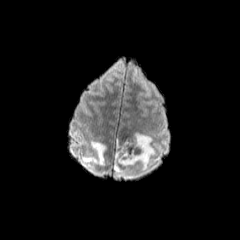
FLAIR MRI.
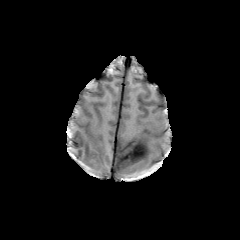
T1-weighted MR image.
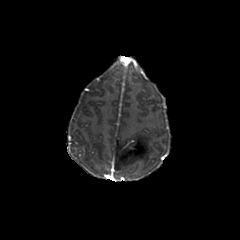
Post-contrast T1-weighted magnetic resonance.
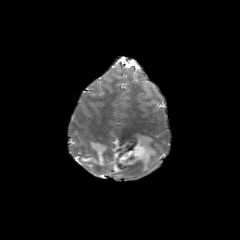
T2-weighted MR image.
Axial plane; Head; Image size 240x240
2 peritumoral edema regions are bounded by (left=81, top=140, right=106, bottom=166), (left=112, top=133, right=154, bottom=176).